FLAIR MRI.
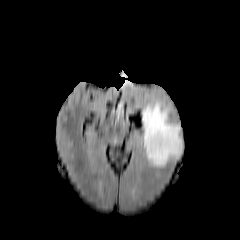
T1-weighted magnetic resonance.
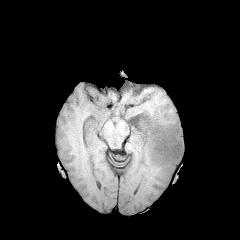
Post-contrast T1-weighted MRI.
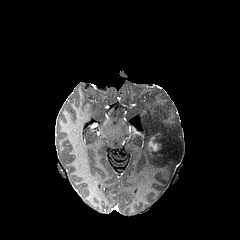
T2-weighted magnetic resonance.
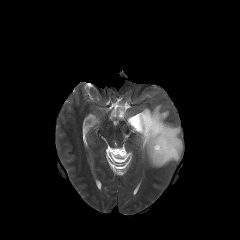
enhancing tumor — region(148, 133, 161, 151)
peritumoral edema — region(141, 101, 182, 167)